Image width 240 mm; Slice 110 of 155; Image size 240x240
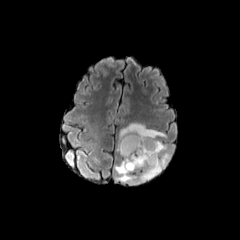
FLAIR MRI.
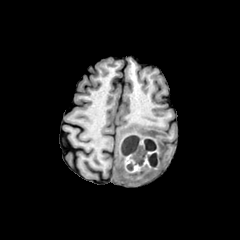
Same slice, T1-weighted MR.
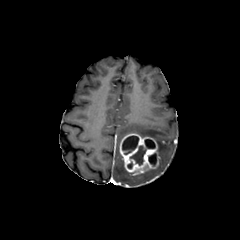
Same slice, post-contrast T1-weighted MR.
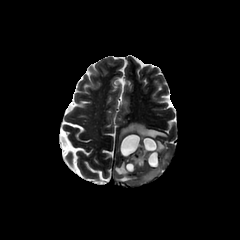
T2-weighted MR image.
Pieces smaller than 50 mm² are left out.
The 3 largest necrotic tumor core regions are located at region(129, 139, 155, 165); region(148, 153, 156, 165); region(122, 136, 138, 154). The enhancing tumor lies within region(119, 133, 158, 174). The peritumoral edema lies within region(114, 122, 170, 184).